Brain, Slice 36/155, Image size 240x240, Image width 240 mm, 1.00 mm slice spacing
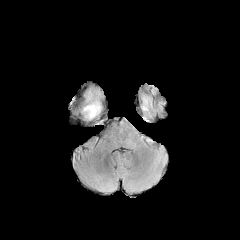
FLAIR MRI.
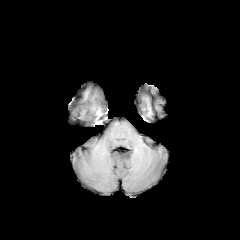
T1-weighted MR image.
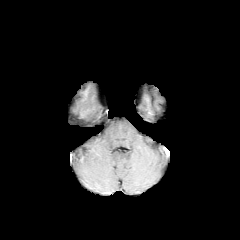
Post-contrast T1-weighted magnetic resonance of the same slice.
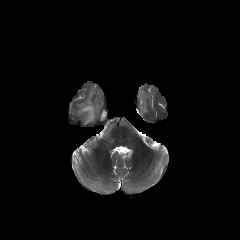
T2-weighted MR image.
peritumoral edema at x1=81 y1=102 x2=100 y2=120